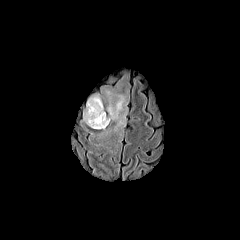
FLAIR MR.
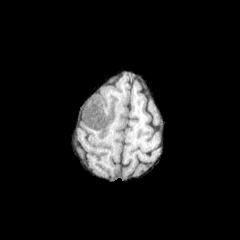
T1-weighted MR.
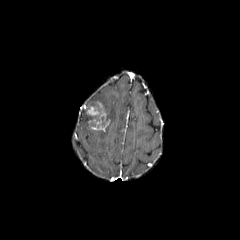
Post-contrast T1-weighted MRI.
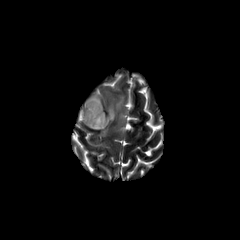
T2-weighted MR image of the same slice.
Axial plane
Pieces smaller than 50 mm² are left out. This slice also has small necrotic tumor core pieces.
The enhancing tumor is bounded by <box>86,101,110,130</box>. The 3 largest peritumoral edema regions are bounded by <box>86,94,102,106</box>, <box>83,108,88,125</box>, <box>106,91,126,131</box>.